Brain. Slice index 102.
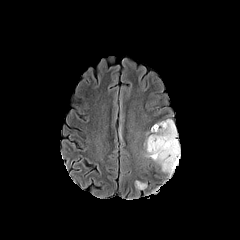
FLAIR MR image.
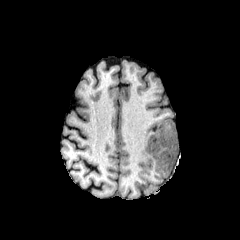
T1-weighted MR.
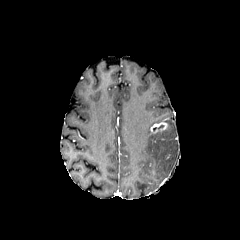
Same slice, post-contrast T1-weighted MR.
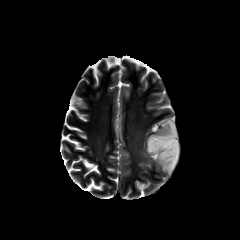
T2-weighted magnetic resonance of the same slice.
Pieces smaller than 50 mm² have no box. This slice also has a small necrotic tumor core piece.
<segmentation>
  <peritumoral_edema>x1=119 y1=123 x2=124 y2=145, x1=134 y1=180 x2=146 y2=189, x1=144 y1=119 x2=180 y2=173</peritumoral_edema>
  <enhancing_tumor>x1=151 y1=122 x2=167 y2=133</enhancing_tumor>
</segmentation>